Slice 55 of 155; Axial view
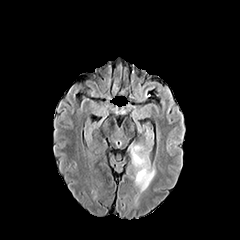
FLAIR MRI.
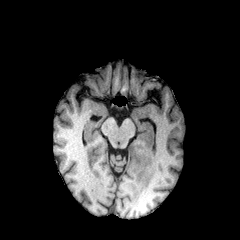
T1-weighted MR.
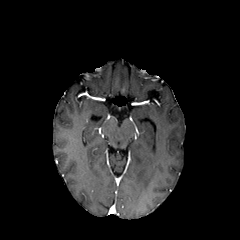
Same slice, post-contrast T1-weighted MR image.
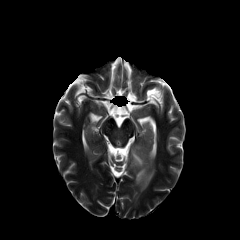
T2-weighted MR image.
peritumoral edema: 131,145,155,191